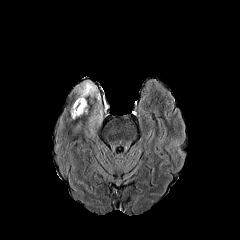
FLAIR magnetic resonance.
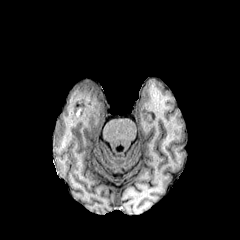
T1-weighted MR image of the same slice.
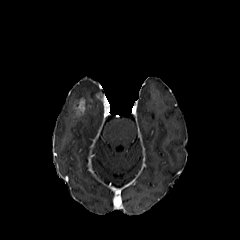
Post-contrast T1-weighted MRI.
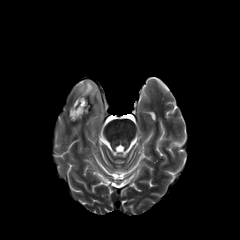
T2-weighted MR of the same slice.
Image size 240x240
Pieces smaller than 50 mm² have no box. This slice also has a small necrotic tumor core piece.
The 3 largest peritumoral edema regions are located at x1=75 y1=80 x2=99 y2=102, x1=70 y1=106 x2=80 y2=119, x1=90 y1=99 x2=102 y2=121. The largest enhancing tumor region lies within x1=73 y1=98 x2=85 y2=116.